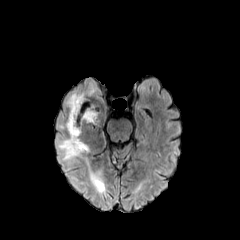
FLAIR MR image.
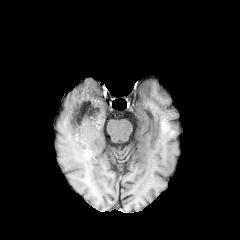
T1-weighted MR image.
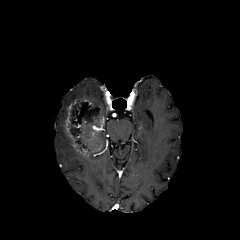
Post-contrast T1-weighted MR image of the same slice.
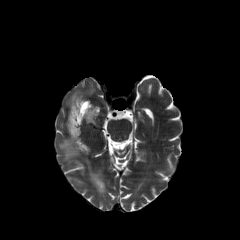
T2-weighted MRI of the same slice.
240x240 px
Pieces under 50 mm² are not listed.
enhancing tumor: <bbox>64, 96, 104, 155</bbox>
necrotic tumor core: <bbox>70, 100, 99, 126</bbox>, <bbox>71, 126, 80, 145</bbox>
peritumoral edema: <bbox>84, 156, 106, 194</bbox>, <bbox>66, 91, 83, 104</bbox>, <bbox>58, 138, 81, 162</bbox>